Head | 240x240 px | Slice 102/155
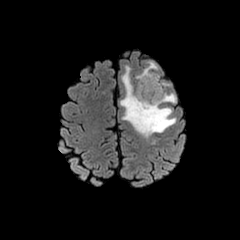
FLAIR MR.
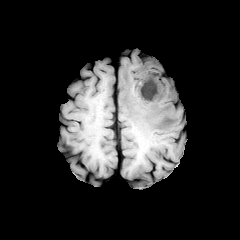
Same slice, T1-weighted magnetic resonance.
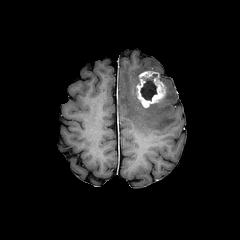
Post-contrast T1-weighted MRI of the same slice.
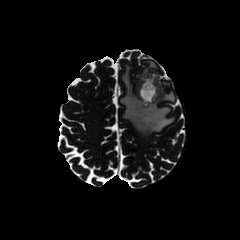
T2-weighted MRI of the same slice.
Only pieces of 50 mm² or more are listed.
peritumoral edema — box(141, 61, 157, 72); box(120, 65, 176, 137)
enhancing tumor — box(137, 71, 165, 107)
necrotic tumor core — box(140, 74, 157, 100)